FLAIR magnetic resonance.
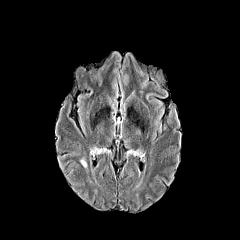
T1-weighted MR image.
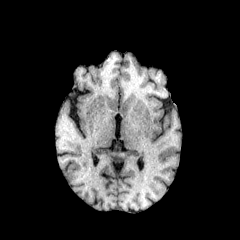
Post-contrast T1-weighted MR image.
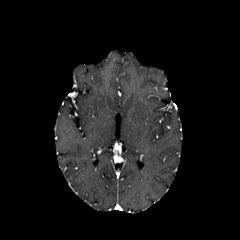
T2-weighted MR image.
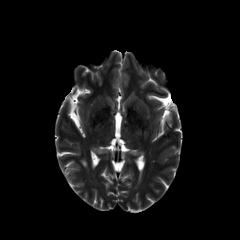
{"peritumoral_edema": ["(79,157,87,166)", "(123,75,128,87)"]}